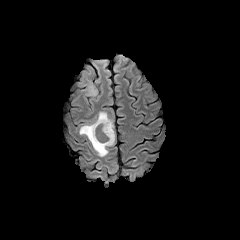
FLAIR MR image.
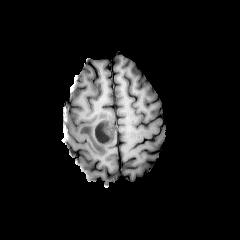
T1-weighted MR image.
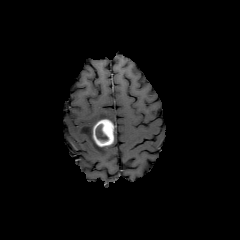
Same slice, post-contrast T1-weighted MRI.
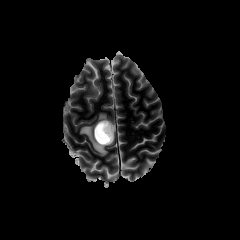
Same slice, T2-weighted magnetic resonance.
240x240
enhancing tumor — [93,119,114,146]
peritumoral edema — [79,112,115,156], [75,65,97,96]
necrotic tumor core — [96,125,107,140]